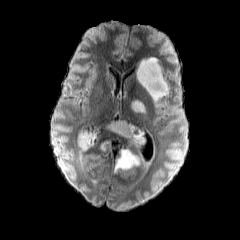
FLAIR magnetic resonance.
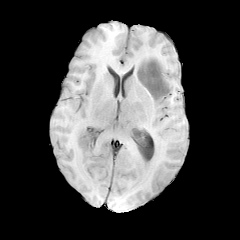
T1-weighted magnetic resonance.
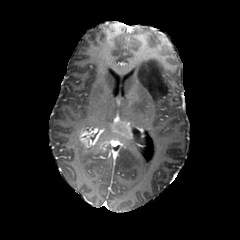
Post-contrast T1-weighted MRI.
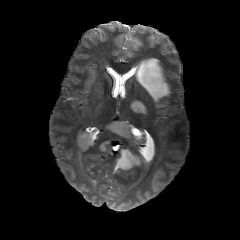
T2-weighted magnetic resonance.
Brain
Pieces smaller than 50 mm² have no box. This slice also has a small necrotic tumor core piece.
3 enhancing tumor regions appear at l=100, t=140, r=110, b=150; l=108, t=120, r=134, b=138; l=78, t=130, r=99, b=148. The 4 largest peritumoral edema regions appear at l=133, t=131, r=148, b=145; l=131, t=100, r=144, b=113; l=115, t=149, r=150, b=171; l=136, t=57, r=169, b=104.